FLAIR magnetic resonance.
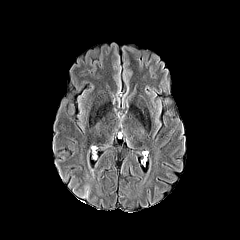
T1-weighted magnetic resonance.
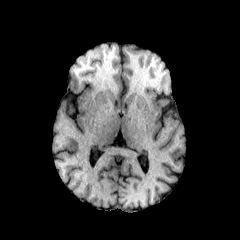
Post-contrast T1-weighted MR image.
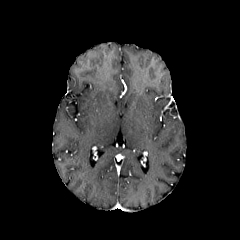
T2-weighted MR.
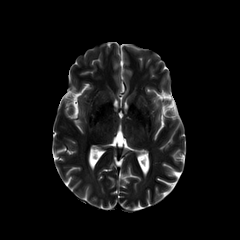
Axial slice
Findings:
* peritumoral edema: 82 185 90 198